FLAIR MRI.
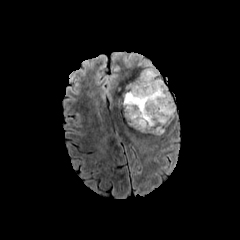
T1-weighted magnetic resonance.
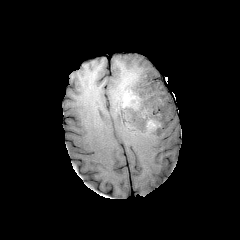
Post-contrast T1-weighted MRI.
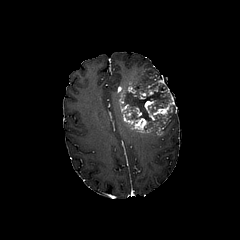
T2-weighted MR image.
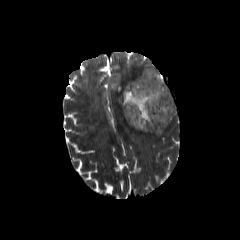
Head.
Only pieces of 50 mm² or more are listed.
- enhancing tumor: x1=146, y1=80, x2=173, y2=100; x1=144, y1=98, x2=174, y2=120; x1=118, y1=75, x2=164, y2=135
- peritumoral edema: x1=140, y1=63, x2=158, y2=77
- necrotic tumor core: x1=149, y1=75, x2=162, y2=84; x1=123, y1=83, x2=174, y2=129; x1=167, y1=104, x2=175, y2=119